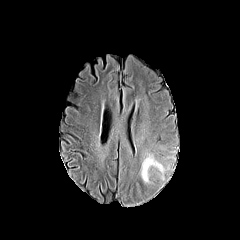
FLAIR MR.
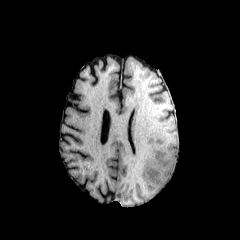
T1-weighted MR.
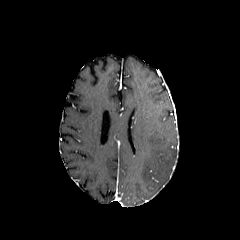
Post-contrast T1-weighted MR image.
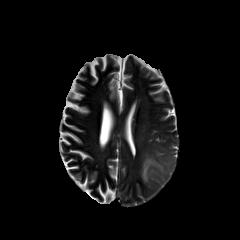
T2-weighted MR image of the same slice.
Brain, Axial slice, 240x240
peritumoral edema: box=[141, 154, 165, 182]